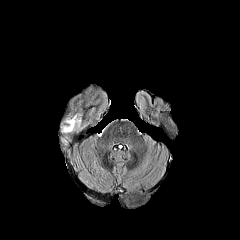
FLAIR MR image.
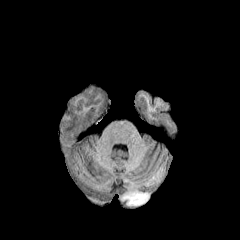
T1-weighted magnetic resonance of the same slice.
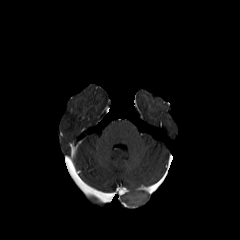
Post-contrast T1-weighted magnetic resonance.
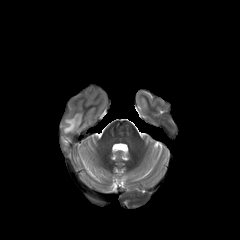
Same slice, T2-weighted magnetic resonance.
240x240; Head
The peritumoral edema is located at 62:115:80:132.